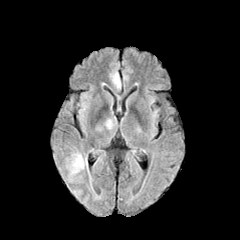
FLAIR magnetic resonance.
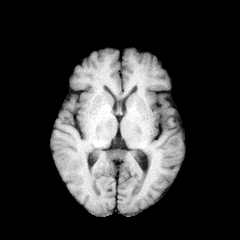
Same slice, T1-weighted MR image.
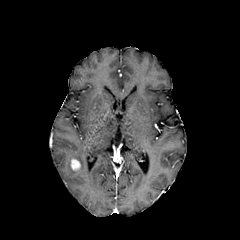
Post-contrast T1-weighted MR image.
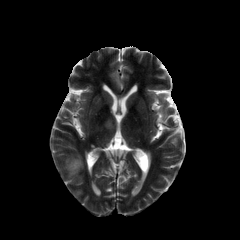
Same slice, T2-weighted magnetic resonance.
Axial slice; Brain
The enhancing tumor lies within x1=70, y1=159, x2=80, y2=170. 2 peritumoral edema regions are bounded by x1=113, y1=73, x2=120, y2=85; x1=66, y1=152, x2=84, y2=180.